Slice index 50; Image size 240x240
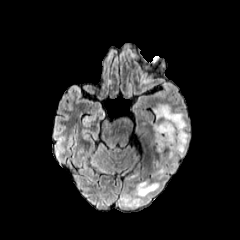
FLAIR MR.
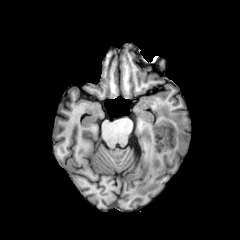
T1-weighted MR image.
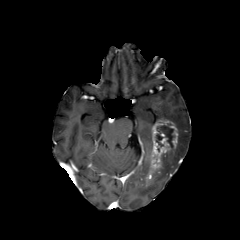
Same slice, post-contrast T1-weighted magnetic resonance.
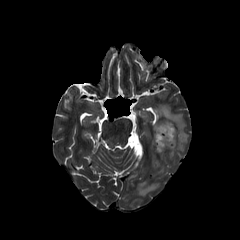
T2-weighted magnetic resonance.
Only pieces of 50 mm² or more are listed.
The 2 largest necrotic tumor core regions are bounded by 157,125,173,146; 156,134,163,146. The largest enhancing tumor region is located at 146,119,178,185. The 3 largest peritumoral edema regions are located at 136,180,158,196; 155,104,189,161; 152,155,164,175.